FLAIR magnetic resonance.
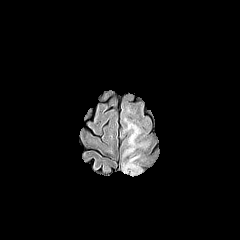
T1-weighted MR image.
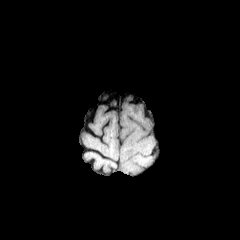
Post-contrast T1-weighted MRI.
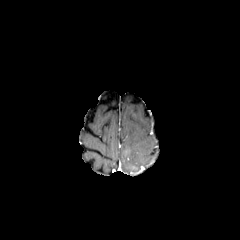
T2-weighted MRI.
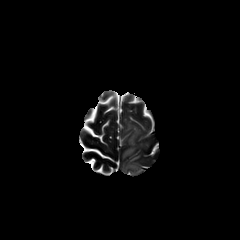
Axial view | Brain
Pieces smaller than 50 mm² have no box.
<segmentation>
  <peritumoral_edema>[120,153,142,176], [123,116,149,152]</peritumoral_edema>
  <enhancing_tumor>[122,148,130,156], [126,164,138,170]</enhancing_tumor>
</segmentation>